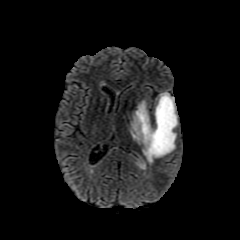
FLAIR MR image.
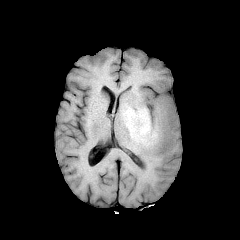
T1-weighted MR.
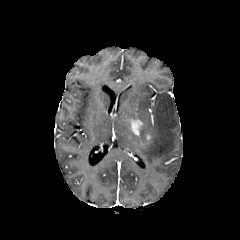
Post-contrast T1-weighted MR image.
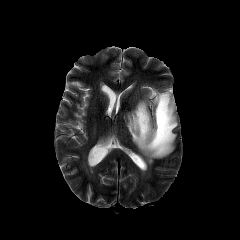
Same slice, T2-weighted MRI.
Brain. Axial plane. 240x240.
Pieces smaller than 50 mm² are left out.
The peritumoral edema is at (128, 92, 177, 164). The largest enhancing tumor region is at (130, 119, 143, 135).